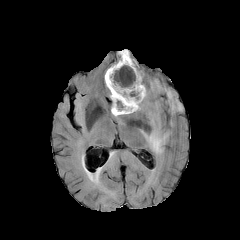
FLAIR MR.
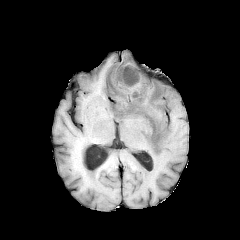
Same slice, T1-weighted MR image.
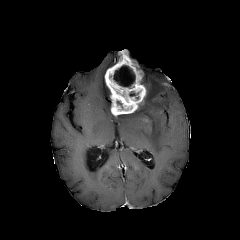
Post-contrast T1-weighted MR of the same slice.
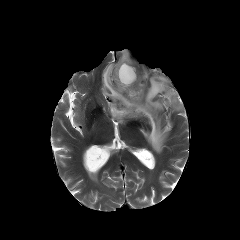
Same slice, T2-weighted MRI.
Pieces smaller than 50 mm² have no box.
The largest necrotic tumor core region is bounded by [x1=113, y1=65, x2=135, y2=87]. The 2 largest peritumoral edema regions are bounded by [x1=132, y1=79, x2=183, y2=154], [x1=111, y1=113, x2=131, y2=123]. The enhancing tumor is at [x1=104, y1=49, x2=146, y2=116].